FLAIR MRI.
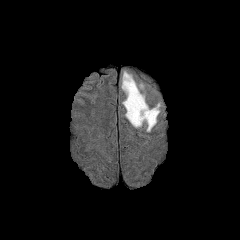
T1-weighted magnetic resonance.
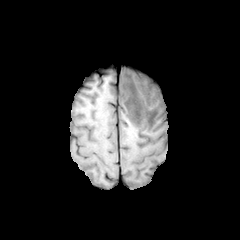
Post-contrast T1-weighted magnetic resonance.
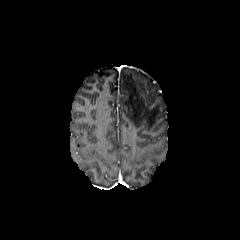
T2-weighted MR image.
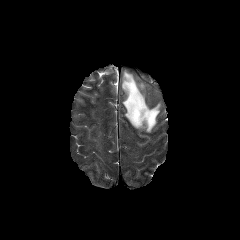
Axial view
peritumoral edema: l=121, t=71, r=160, b=132